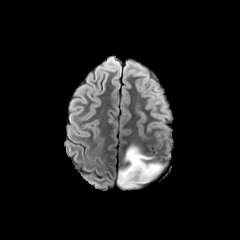
FLAIR magnetic resonance.
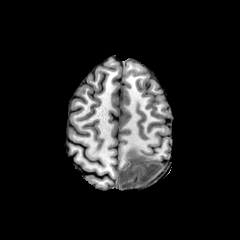
T1-weighted MRI.
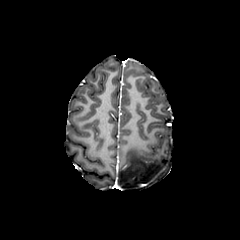
Post-contrast T1-weighted MR image of the same slice.
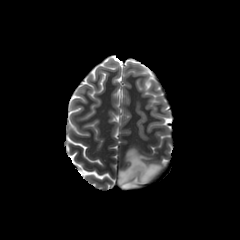
T2-weighted MRI.
Axial view; Brain
peritumoral edema — <bbox>118, 146, 163, 188</bbox>